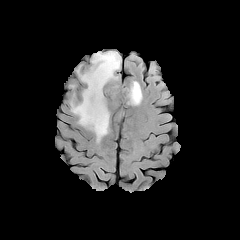
FLAIR MRI.
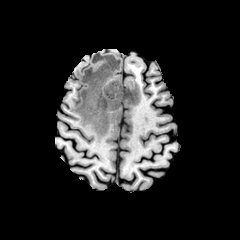
T1-weighted MR.
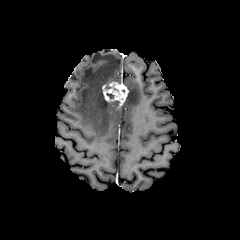
Post-contrast T1-weighted MRI.
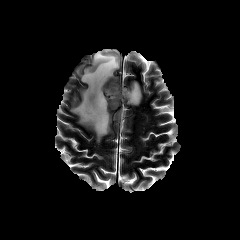
Same slice, T2-weighted MR image.
Axial plane
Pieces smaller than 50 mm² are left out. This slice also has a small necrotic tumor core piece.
2 peritumoral edema regions are located at (x1=71, y1=51, x2=121, y2=142), (x1=126, y1=81, x2=142, y2=105). The enhancing tumor is located at (x1=102, y1=81, x2=128, y2=106).